Axial slice, Brain
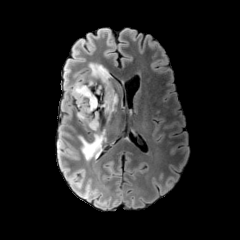
FLAIR MRI.
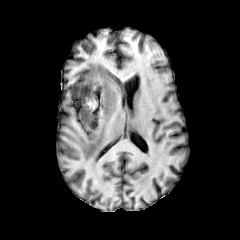
Same slice, T1-weighted MR.
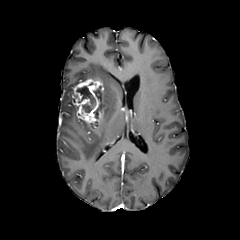
Post-contrast T1-weighted MR image.
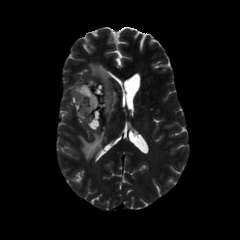
T2-weighted MRI.
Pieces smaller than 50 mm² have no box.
<segmentation>
  <enhancing_tumor>(72, 76, 104, 128)</enhancing_tumor>
  <necrotic_tumor_core>(76, 86, 95, 112)</necrotic_tumor_core>
  <peritumoral_edema>(73, 63, 118, 124), (78, 129, 105, 160)</peritumoral_edema>
</segmentation>